FLAIR MRI.
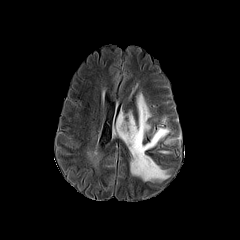
T1-weighted MR image.
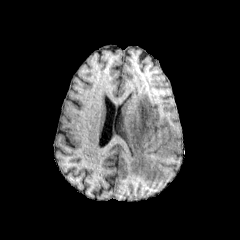
Post-contrast T1-weighted MR image.
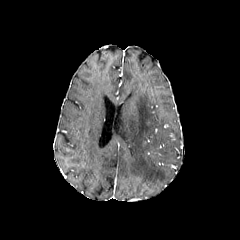
T2-weighted magnetic resonance.
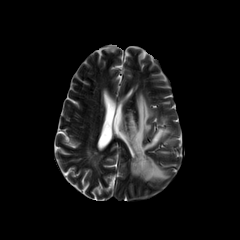
Head
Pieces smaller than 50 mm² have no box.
{"peritumoral_edema": ["[116,94,169,181]"]}